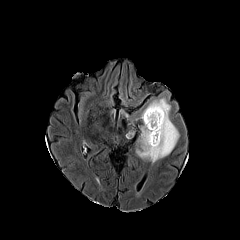
FLAIR MRI.
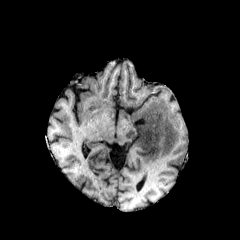
T1-weighted MRI.
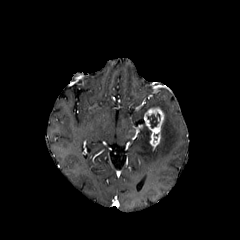
Post-contrast T1-weighted magnetic resonance.
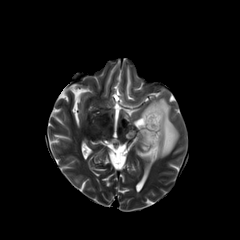
Same slice, T2-weighted MR image.
240x240 px, Head
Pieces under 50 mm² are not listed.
Segmented structures:
- enhancing tumor: <box>144,107,164,148</box>
- peritumoral edema: <box>136,97,179,163</box>
- necrotic tumor core: <box>141,118,151,144</box>, <box>147,113,160,128</box>